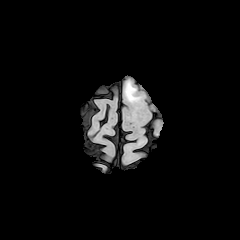
FLAIR MRI.
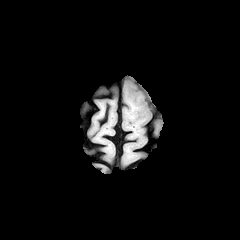
T1-weighted magnetic resonance.
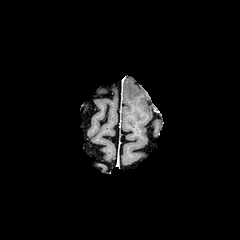
Post-contrast T1-weighted magnetic resonance.
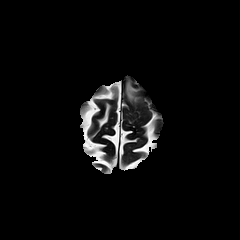
T2-weighted MR image of the same slice.
240x240 px; Head
peritumoral edema: rect(125, 81, 138, 101)